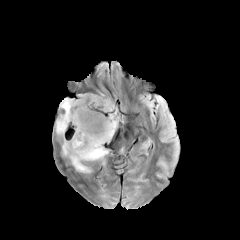
FLAIR MRI.
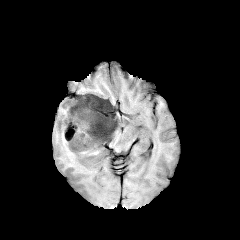
T1-weighted magnetic resonance.
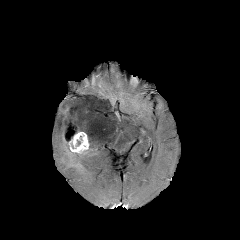
Post-contrast T1-weighted MRI.
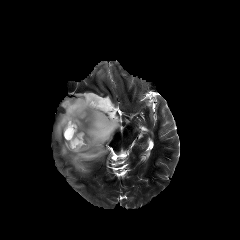
T2-weighted MRI.
Axial plane.
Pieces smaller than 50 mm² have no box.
The enhancing tumor is located at (x1=65, y1=122, x2=89, y2=153). The largest necrotic tumor core region is bounded by (x1=66, y1=123, x2=76, y2=141). The peritumoral edema is located at (x1=55, y1=93, x2=119, y2=173).